FLAIR magnetic resonance.
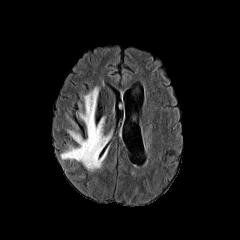
T1-weighted magnetic resonance.
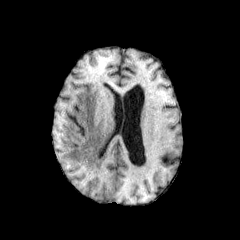
Post-contrast T1-weighted magnetic resonance.
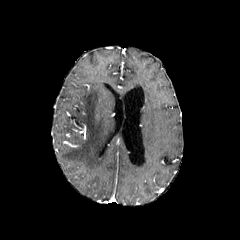
T2-weighted MR image.
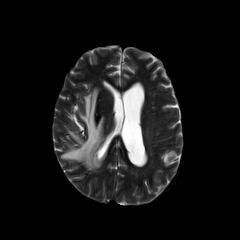
Brain. Image size 240x240.
The peritumoral edema is at <bbox>61, 87, 109, 170</bbox>.